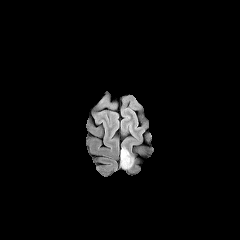
FLAIR magnetic resonance.
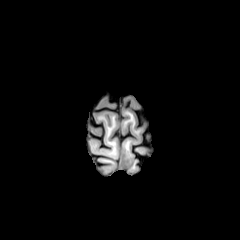
T1-weighted MRI of the same slice.
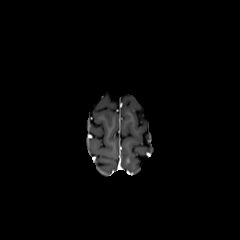
Post-contrast T1-weighted magnetic resonance.
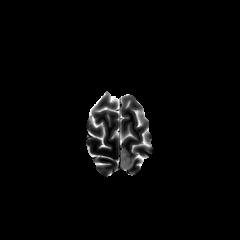
T2-weighted MRI of the same slice.
Brain.
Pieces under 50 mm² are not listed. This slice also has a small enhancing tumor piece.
<segmentation>
  <peritumoral_edema>bbox(121, 145, 134, 169)</peritumoral_edema>
</segmentation>